Axial view.
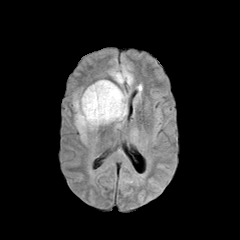
FLAIR MR.
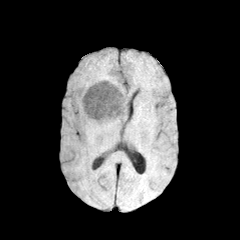
T1-weighted MR.
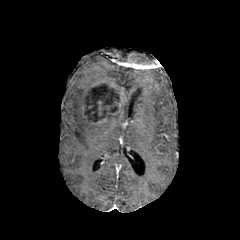
Post-contrast T1-weighted MR image of the same slice.
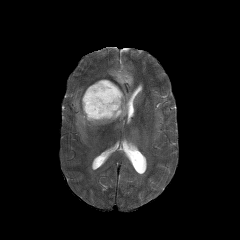
T2-weighted MR image.
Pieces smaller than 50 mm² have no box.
{"peritumoral_edema": ["(x1=109, y1=66, x2=133, y2=86)", "(x1=73, y1=85, x2=130, y2=139)"], "enhancing_tumor": ["(x1=83, y1=80, x2=125, y2=123)"], "necrotic_tumor_core": ["(x1=84, y1=82, x2=120, y2=121)"]}